Image covers 240 mm x 240 mm
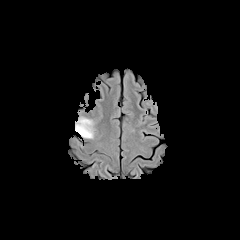
FLAIR magnetic resonance.
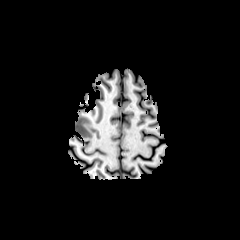
T1-weighted MRI.
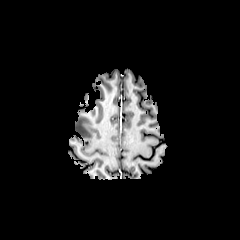
Post-contrast T1-weighted magnetic resonance.
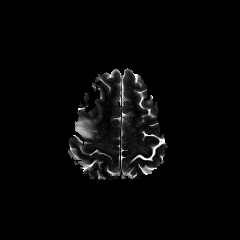
T2-weighted magnetic resonance.
The peritumoral edema lies within 75 117 93 138.